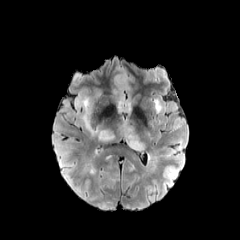
FLAIR MRI.
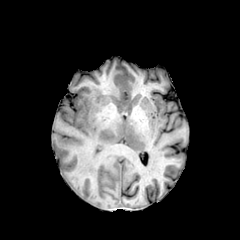
Same slice, T1-weighted magnetic resonance.
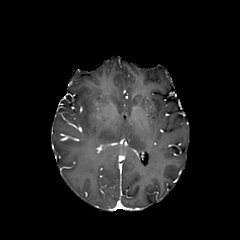
Post-contrast T1-weighted magnetic resonance.
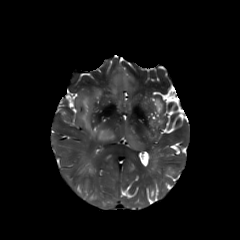
T2-weighted MR of the same slice.
Axial view. Image size 240x240.
Annotated regions:
• peritumoral edema: {"x1": 121, "y1": 123, "x2": 144, "y2": 151}, {"x1": 154, "y1": 98, "x2": 160, "y2": 112}, {"x1": 75, "y1": 96, "x2": 114, "y2": 141}